Brain. Slice 96 of 155. Axial plane.
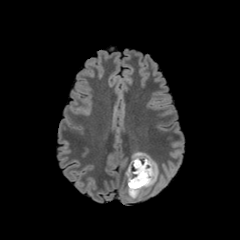
FLAIR MR.
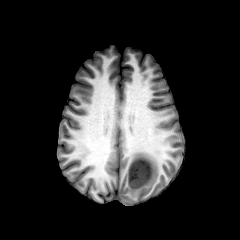
T1-weighted magnetic resonance.
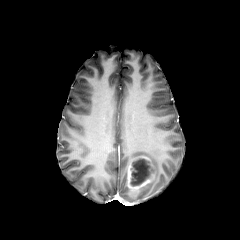
Post-contrast T1-weighted magnetic resonance.
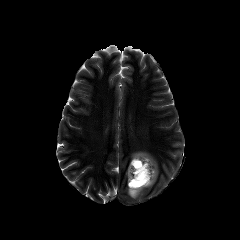
T2-weighted MR of the same slice.
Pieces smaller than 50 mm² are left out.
{
  "peritumoral_edema": [
    "l=128, t=152, r=158, b=198"
  ],
  "necrotic_tumor_core": [
    "l=130, t=159, r=153, b=186"
  ],
  "enhancing_tumor": [
    "l=127, t=156, r=154, b=195"
  ]
}